FLAIR MR.
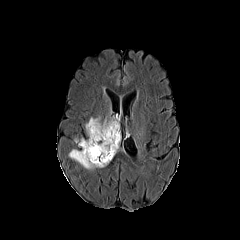
T1-weighted MR image.
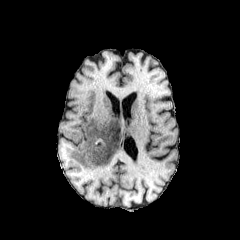
Post-contrast T1-weighted MRI.
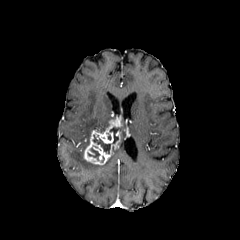
T2-weighted magnetic resonance.
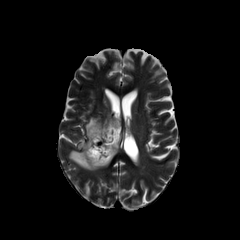
Axial view. Image size 240x240.
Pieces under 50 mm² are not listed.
The largest peritumoral edema region lies within (69,117,119,170). The 3 largest necrotic tumor core regions are located at (93,135,110,153), (88,148,100,160), (109,127,119,143). The enhancing tumor is located at (84,116,120,165).